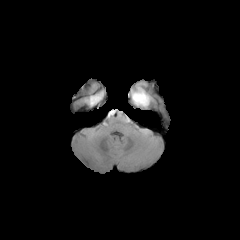
FLAIR magnetic resonance.
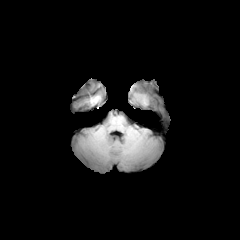
T1-weighted magnetic resonance.
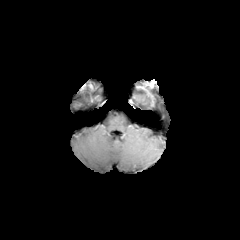
Post-contrast T1-weighted MR image of the same slice.
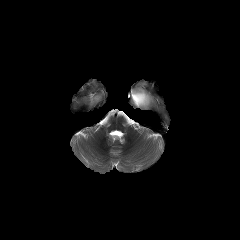
T2-weighted magnetic resonance of the same slice.
Brain | Axial view
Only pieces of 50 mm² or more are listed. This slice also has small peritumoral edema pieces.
The enhancing tumor is bounded by box=[130, 86, 152, 107]. The necrotic tumor core lies within box=[133, 90, 149, 105].